240x240 px; Slice 121/155
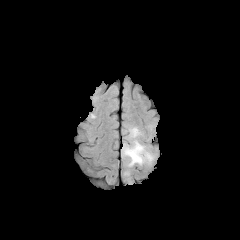
FLAIR MR image.
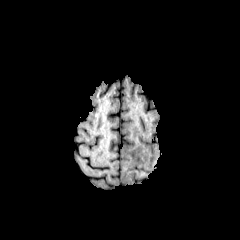
T1-weighted MR.
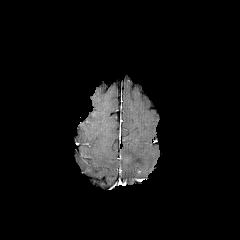
Same slice, post-contrast T1-weighted MR image.
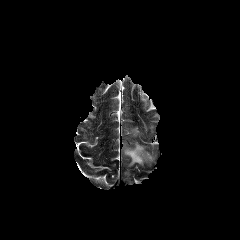
T2-weighted magnetic resonance.
peritumoral edema: x1=122, y1=141, x2=153, y2=166; x1=130, y1=127, x2=140, y2=137